240x240; Slice 73 of 155; Head
FLAIR MRI.
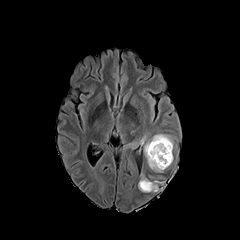
T1-weighted MRI.
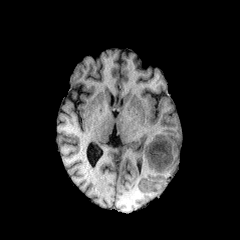
Post-contrast T1-weighted magnetic resonance.
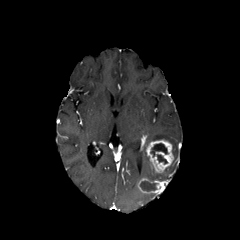
T2-weighted MRI.
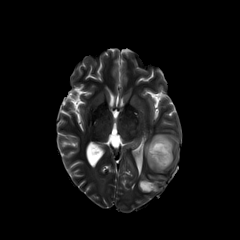
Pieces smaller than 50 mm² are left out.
necrotic_tumor_core:
  - x1=151 y1=143 x2=167 y2=156
  - x1=157 y1=154 x2=167 y2=163
  - x1=140 y1=181 x2=156 y2=191
enhancing_tumor:
  - x1=146 y1=139 x2=173 y2=172
  - x1=138 y1=177 x2=160 y2=193
peritumoral_edema:
  - x1=144 y1=134 x2=173 y2=166